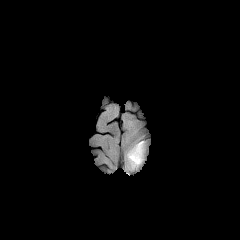
FLAIR magnetic resonance.
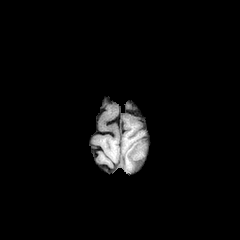
T1-weighted magnetic resonance of the same slice.
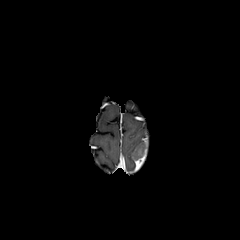
Same slice, post-contrast T1-weighted MR.
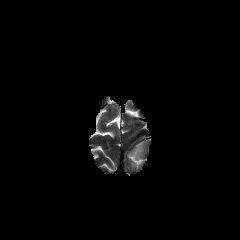
Same slice, T2-weighted magnetic resonance.
Head, Axial view
• enhancing tumor: box=[134, 158, 143, 168]
• peritumoral edema: box=[128, 142, 142, 165]